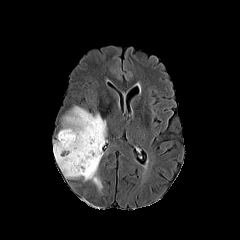
FLAIR MR image.
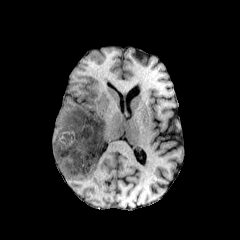
T1-weighted MR image of the same slice.
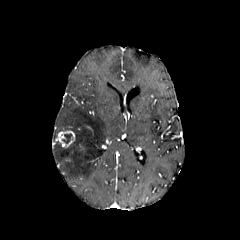
Same slice, post-contrast T1-weighted MR.
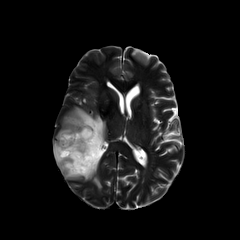
Same slice, T2-weighted magnetic resonance.
Brain, Axial view
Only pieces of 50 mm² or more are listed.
The largest necrotic tumor core region is located at (61, 133, 73, 144). The peritumoral edema is at (53, 106, 106, 187). The largest enhancing tumor region appears at (58, 130, 75, 147).